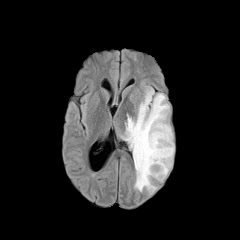
FLAIR MR.
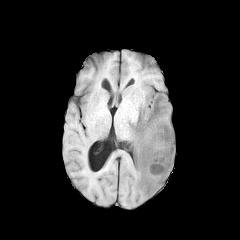
T1-weighted MRI.
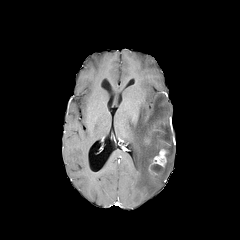
Post-contrast T1-weighted MR image.
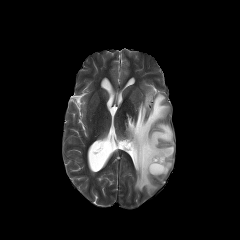
T2-weighted MR.
240x240 px | Head
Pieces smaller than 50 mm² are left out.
peritumoral edema at [122,89,174,194]
necrotic tumor core at [150,164,162,173]
enhancing tumor at [151,149,167,168]